Brain; Axial slice
FLAIR MR.
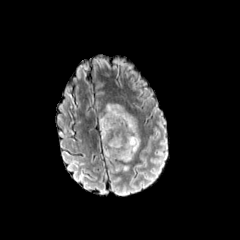
T1-weighted MRI.
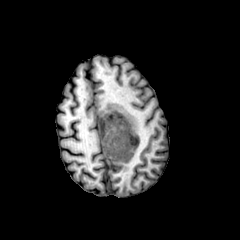
Post-contrast T1-weighted magnetic resonance.
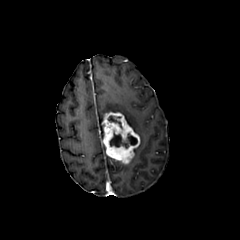
T2-weighted magnetic resonance.
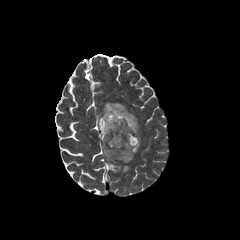
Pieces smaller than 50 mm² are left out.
necrotic tumor core — 127:134:137:145, 108:115:121:127, 110:133:128:147
peritumoral edema — 99:103:141:141
enhancing tumor — 101:112:140:163